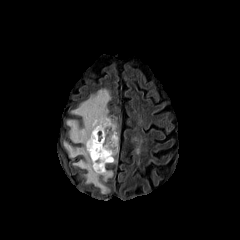
FLAIR MR.
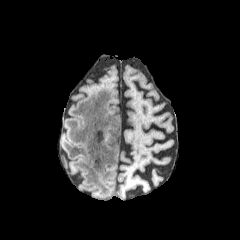
T1-weighted MRI.
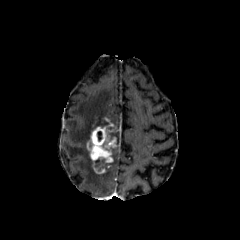
Post-contrast T1-weighted MRI of the same slice.
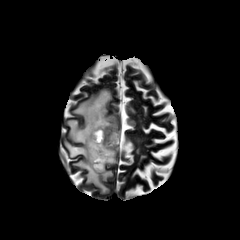
T2-weighted MR image of the same slice.
Brain
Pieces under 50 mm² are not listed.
<segmentation>
  <necrotic_tumor_core>(95,159,104,171)</necrotic_tumor_core>
  <peritumoral_edema>(64,88,113,193), (105,147,117,167)</peritumoral_edema>
  <enhancing_tumor>(87,117,118,173)</enhancing_tumor>
</segmentation>